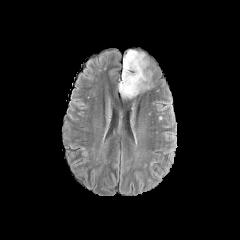
FLAIR MRI.
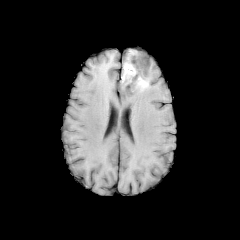
Same slice, T1-weighted MR image.
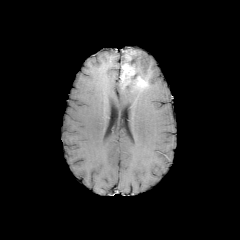
Post-contrast T1-weighted magnetic resonance.
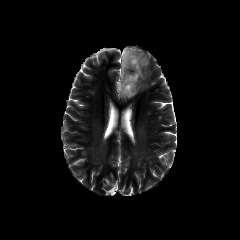
T2-weighted magnetic resonance of the same slice.
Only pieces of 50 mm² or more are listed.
necrotic tumor core at [128,52,147,80]
enhancing tumor at [120,51,148,91]
peritumoral edema at [136,51,150,81], [118,83,140,98]